FLAIR MRI.
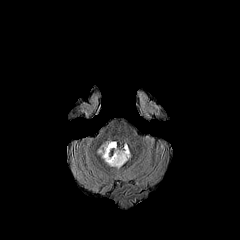
T1-weighted MRI.
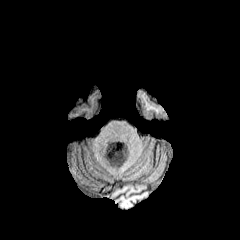
Post-contrast T1-weighted MRI.
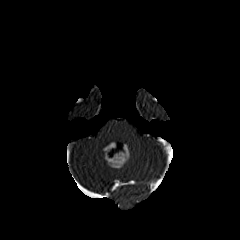
T2-weighted magnetic resonance.
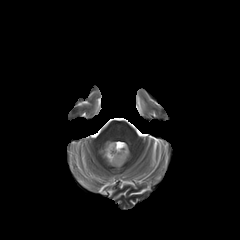
240x240 px. Axial plane. Brain.
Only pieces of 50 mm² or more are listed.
The largest peritumoral edema region appears at {"x1": 97, "y1": 141, "x2": 115, "y2": 158}. The necrotic tumor core appears at {"x1": 108, "y1": 148, "x2": 117, "y2": 157}. The enhancing tumor is at {"x1": 103, "y1": 142, "x2": 129, "y2": 168}.